FLAIR MR image.
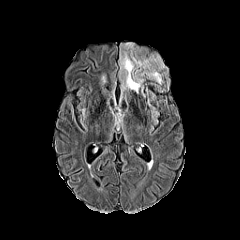
T1-weighted MRI.
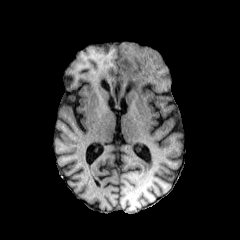
Post-contrast T1-weighted MR.
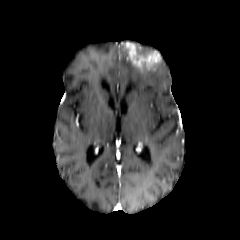
T2-weighted MRI.
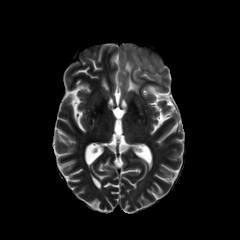
Brain
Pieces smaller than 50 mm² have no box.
{
  "enhancing_tumor": [
    "bbox(122, 42, 161, 71)"
  ],
  "peritumoral_edema": [
    "bbox(119, 49, 164, 93)"
  ]
}